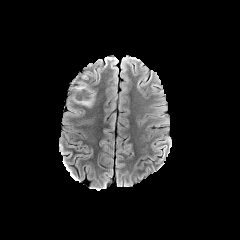
FLAIR MR image.
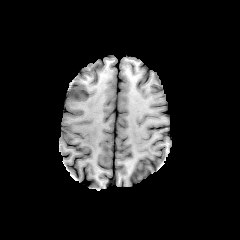
T1-weighted MRI of the same slice.
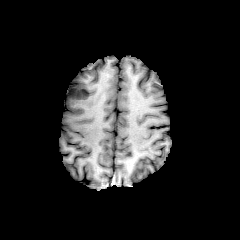
Post-contrast T1-weighted MR.
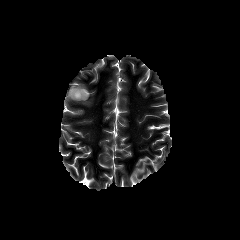
T2-weighted MR of the same slice.
Axial view; Brain; 240x240
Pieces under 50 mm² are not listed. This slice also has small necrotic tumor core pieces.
enhancing tumor: x1=68 y1=88 x2=89 y2=99 | peritumoral edema: x1=70 y1=82 x2=87 y2=89, x1=69 y1=90 x2=94 y2=106